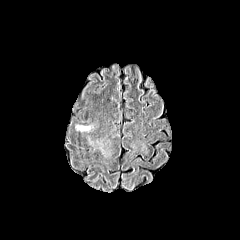
FLAIR MRI.
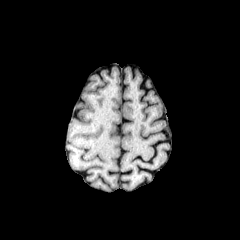
T1-weighted MR image of the same slice.
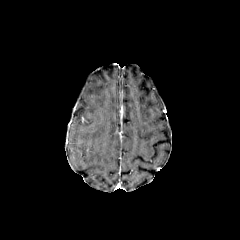
Same slice, post-contrast T1-weighted MR image.
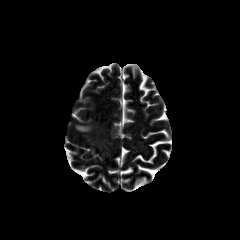
T2-weighted MR.
Head
<segmentation>
  <peritumoral_edema>{"x1": 76, "y1": 125, "x2": 90, "y2": 131}</peritumoral_edema>
</segmentation>